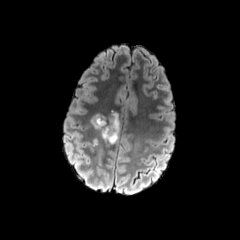
FLAIR MR.
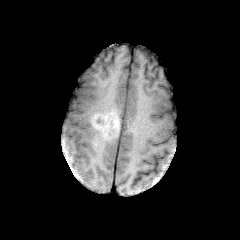
T1-weighted MR of the same slice.
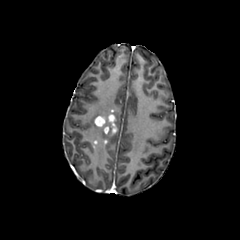
Post-contrast T1-weighted MR.
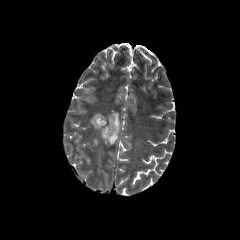
T2-weighted MR.
Axial plane | Head
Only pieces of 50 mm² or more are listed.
enhancing tumor: (x1=94, y1=110, x2=117, y2=135) | peritumoral edema: (x1=90, y1=112, x2=119, y2=143), (x1=98, y1=147, x2=103, y2=165)